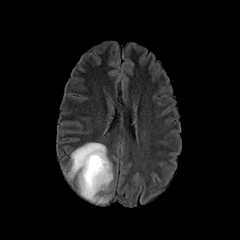
FLAIR MRI.
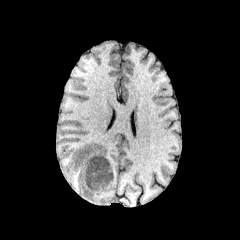
T1-weighted magnetic resonance.
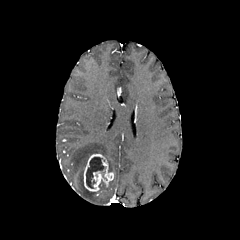
Post-contrast T1-weighted MR.
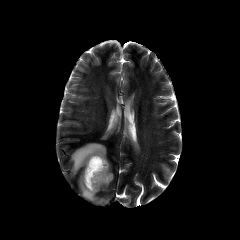
T2-weighted MR image of the same slice.
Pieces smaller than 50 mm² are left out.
<segmentation>
  <enhancing_tumor>x1=83 y1=154 x2=112 y2=191</enhancing_tumor>
  <peritumoral_edema>x1=67 y1=142 x2=114 y2=203</peritumoral_edema>
  <necrotic_tumor_core>x1=86 y1=157 x2=104 y2=188</necrotic_tumor_core>
</segmentation>